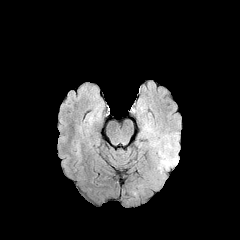
FLAIR MR image.
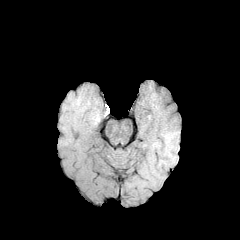
T1-weighted MR.
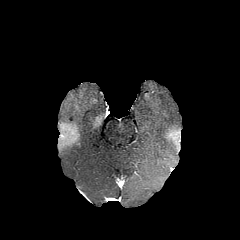
Same slice, post-contrast T1-weighted MR image.
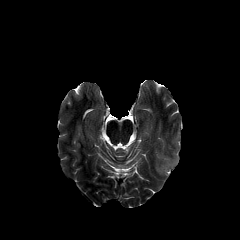
T2-weighted MRI.
Brain | Axial view
The peritumoral edema is bounded by (x1=162, y1=135, x2=179, y2=170).